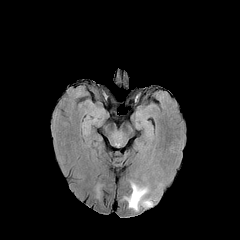
FLAIR magnetic resonance.
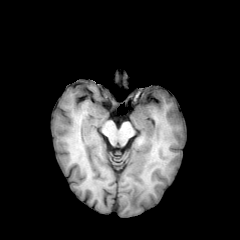
T1-weighted magnetic resonance.
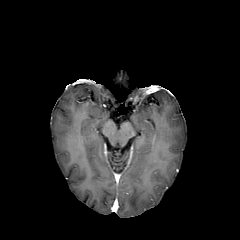
Post-contrast T1-weighted MRI.
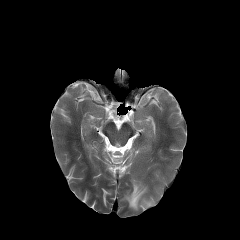
T2-weighted MR image.
Axial slice, Brain
peritumoral edema — {"x1": 142, "y1": 200, "x2": 152, "y2": 207}, {"x1": 125, "y1": 183, "x2": 147, "y2": 210}